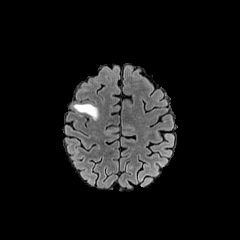
FLAIR MR image.
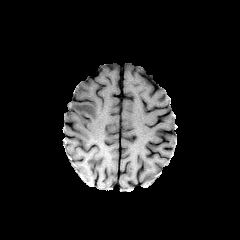
Same slice, T1-weighted magnetic resonance.
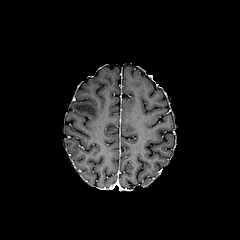
Post-contrast T1-weighted MR image.
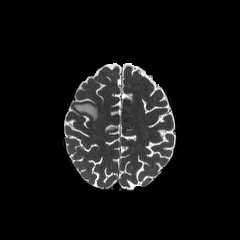
T2-weighted MR of the same slice.
Axial plane
The peritumoral edema is located at x1=73, y1=103, x2=98, y2=119.